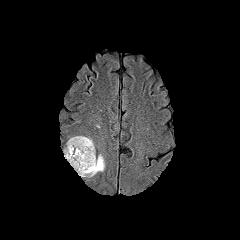
FLAIR magnetic resonance.
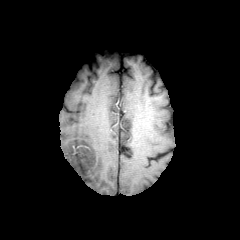
T1-weighted MRI.
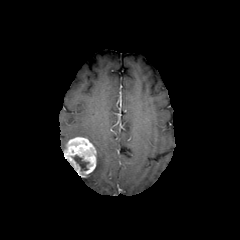
Post-contrast T1-weighted magnetic resonance of the same slice.
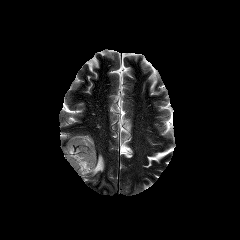
T2-weighted MR image.
Head
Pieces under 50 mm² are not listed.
<segmentation>
  <necrotic_tumor_core>73:155:88:170</necrotic_tumor_core>
  <peritumoral_edema>87:154:104:176</peritumoral_edema>
  <enhancing_tumor>64:137:96:177</enhancing_tumor>
</segmentation>